Head | Axial view | Slice index 66
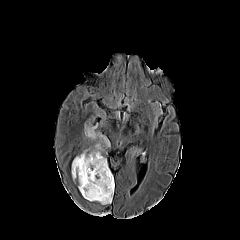
FLAIR magnetic resonance.
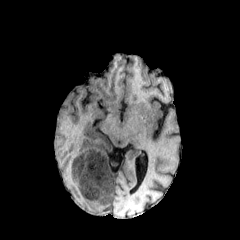
T1-weighted MR image of the same slice.
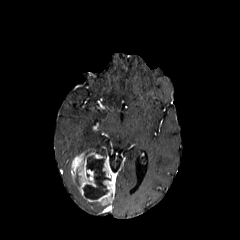
Same slice, post-contrast T1-weighted MR image.
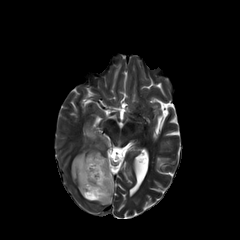
Same slice, T2-weighted magnetic resonance.
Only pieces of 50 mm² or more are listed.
The largest necrotic tumor core region is bounded by bbox(83, 156, 110, 199). The enhancing tumor is at bbox(71, 149, 114, 205). The 2 largest peritumoral edema regions appear at bbox(94, 143, 101, 153); bbox(84, 116, 109, 146).